FLAIR MR.
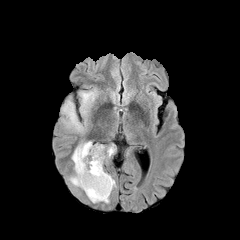
T1-weighted MR image.
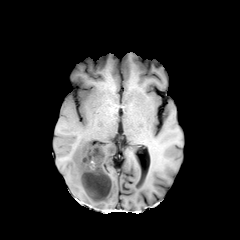
Post-contrast T1-weighted MR.
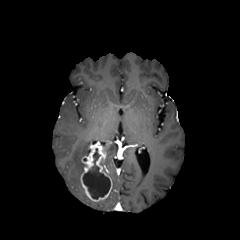
T2-weighted MR image.
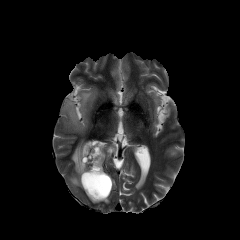
Axial plane.
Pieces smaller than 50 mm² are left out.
Segmented structures:
* enhancing tumor: (80,143,112,201)
* necrotic tumor core: (83,148,110,199)
* peritumoral edema: (80,91,96,115), (69,141,91,188), (102,144,115,160), (62,99,83,131)